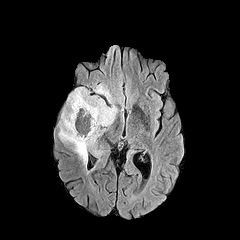
FLAIR magnetic resonance.
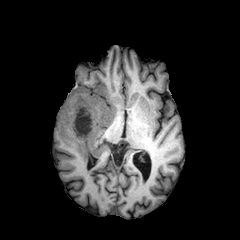
T1-weighted MRI of the same slice.
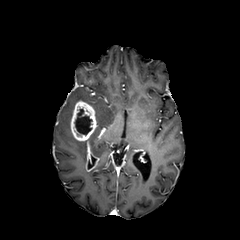
Post-contrast T1-weighted MR image.
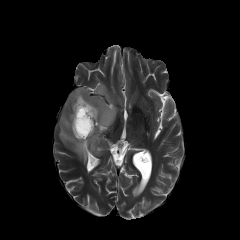
T2-weighted magnetic resonance of the same slice.
Axial plane
2 enhancing tumor regions are located at <bbox>70, 100, 97, 140</bbox>, <bbox>86, 141, 98, 171</bbox>. The peritumoral edema lies within <bbox>58, 84, 117, 163</bbox>. The necrotic tumor core appears at <bbox>75, 109, 92, 135</bbox>.